Head
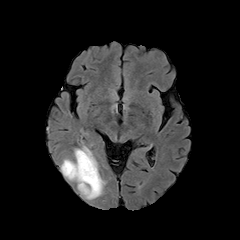
FLAIR MRI.
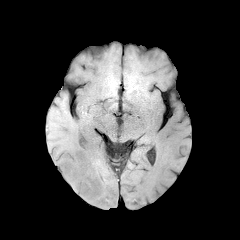
T1-weighted MR image.
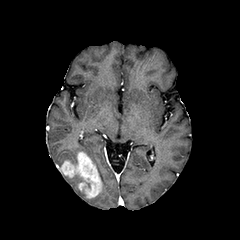
Post-contrast T1-weighted magnetic resonance.
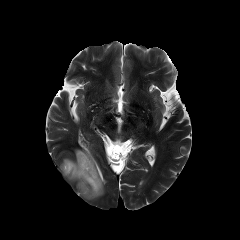
T2-weighted MRI.
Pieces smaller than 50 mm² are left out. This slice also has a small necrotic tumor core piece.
2 peritumoral edema regions are bounded by rect(61, 146, 106, 199); rect(64, 175, 82, 189). The enhancing tumor appears at rect(60, 151, 102, 198).